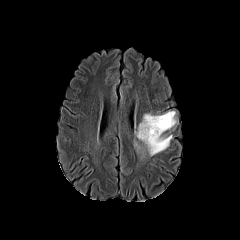
FLAIR MR image.
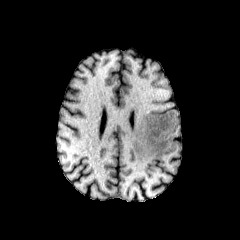
T1-weighted MRI of the same slice.
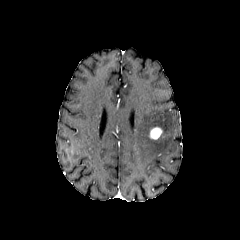
Post-contrast T1-weighted MR image.
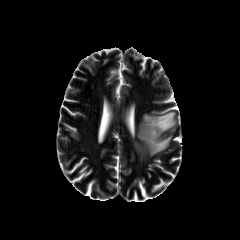
T2-weighted MR of the same slice.
Axial view; 240x240; Brain
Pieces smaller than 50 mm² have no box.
The enhancing tumor appears at (x1=149, y1=127, x2=162, y2=139). The largest peritumoral edema region lies within (x1=135, y1=111, x2=177, y2=156).